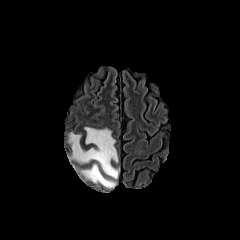
FLAIR MR image.
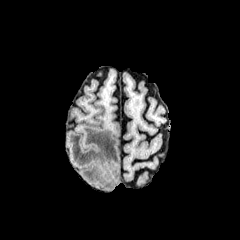
T1-weighted magnetic resonance of the same slice.
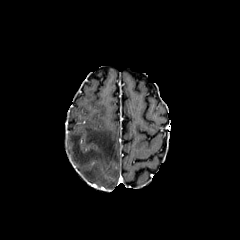
Same slice, post-contrast T1-weighted MR image.
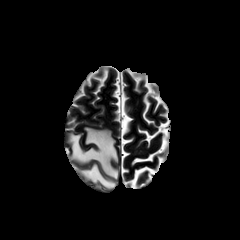
T2-weighted MRI.
Axial slice; Head
The peritumoral edema is at (68, 127, 119, 188).